Axial view, Slice index 72
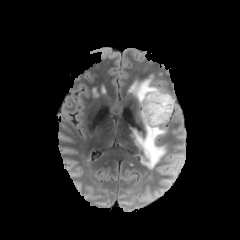
FLAIR magnetic resonance.
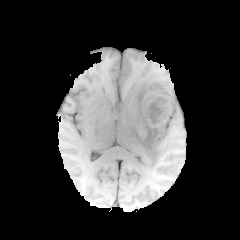
Same slice, T1-weighted MR.
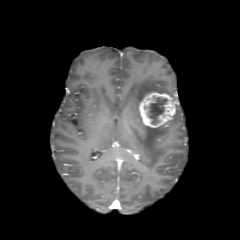
Post-contrast T1-weighted magnetic resonance.
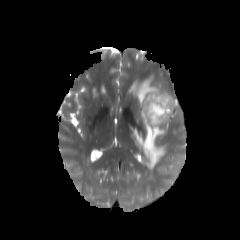
T2-weighted MR image of the same slice.
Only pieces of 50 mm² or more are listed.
- necrotic tumor core: x1=148 y1=96 x2=167 y2=124
- peritumoral edema: x1=133 y1=123 x2=165 y2=169, x1=128 y1=77 x2=169 y2=103
- enhancing tumor: x1=139 y1=92 x2=176 y2=127